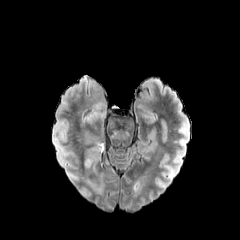
FLAIR MRI.
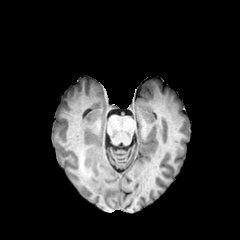
T1-weighted MR image of the same slice.
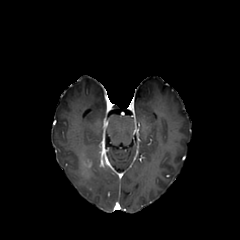
Post-contrast T1-weighted MRI.
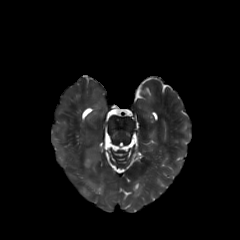
T2-weighted MR image.
240x240. Axial plane.
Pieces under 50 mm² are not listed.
enhancing tumor: x1=100, y1=154, x2=110, y2=166 | peritumoral edema: x1=84, y1=147, x2=105, y2=166